Head | 240x240 px
FLAIR MR.
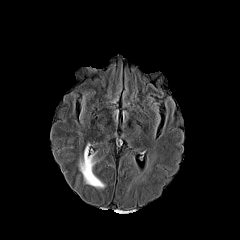
T1-weighted MR image.
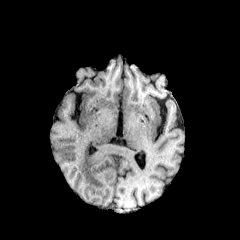
Post-contrast T1-weighted magnetic resonance.
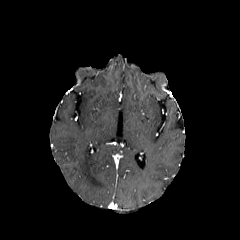
T2-weighted magnetic resonance.
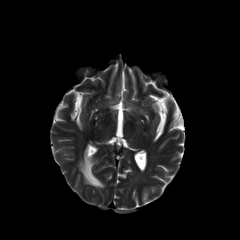
Findings:
- peritumoral edema: <bbox>79, 146, 104, 187</bbox>